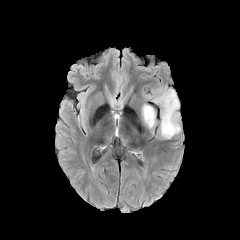
FLAIR magnetic resonance.
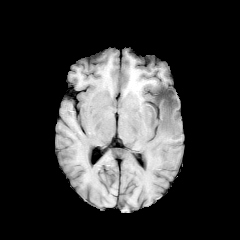
Same slice, T1-weighted MRI.
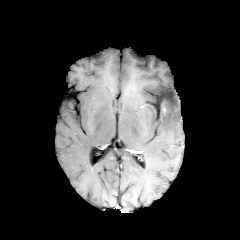
Same slice, post-contrast T1-weighted MRI.
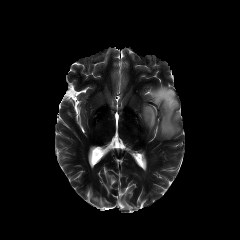
T2-weighted MR image of the same slice.
Head | Axial view
{
  "peritumoral_edema": [
    "region(142, 104, 156, 129)",
    "region(147, 86, 180, 138)"
  ],
  "necrotic_tumor_core": [
    "region(153, 88, 175, 110)"
  ]
}